FLAIR MRI.
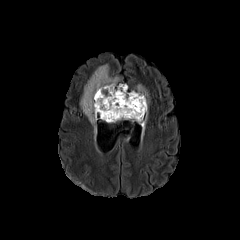
T1-weighted MR.
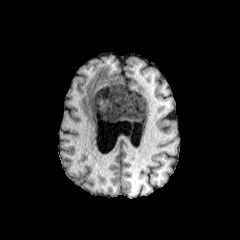
Post-contrast T1-weighted MRI.
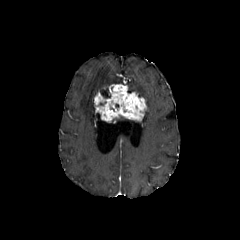
T2-weighted MR.
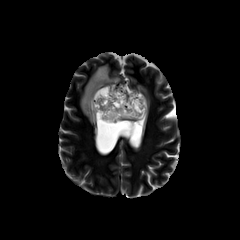
240x240
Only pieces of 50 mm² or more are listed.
necrotic tumor core = x1=100 y1=88 x2=110 y2=98
peritumoral edema = x1=80 y1=64 x2=119 y2=125, x1=136 y1=84 x2=149 y2=128
enhancing tumor = x1=94 y1=84 x2=146 y2=122